240x240 px, Head
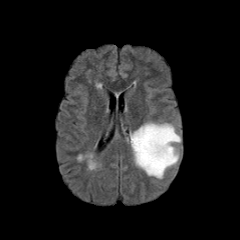
FLAIR MR image.
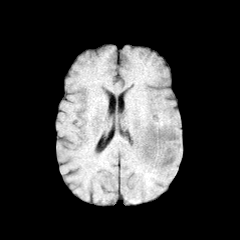
T1-weighted MR of the same slice.
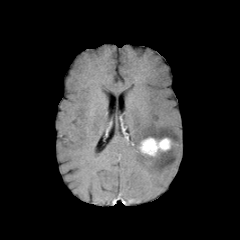
Post-contrast T1-weighted MR image.
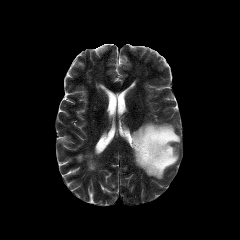
T2-weighted MR image.
<segmentation>
  <enhancing_tumor>left=138, top=137, right=171, bottom=157</enhancing_tumor>
  <peritumoral_edema>left=130, top=122, right=180, bottom=178</peritumoral_edema>
</segmentation>